Head
FLAIR MRI.
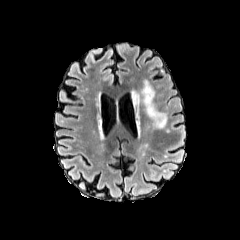
T1-weighted MR.
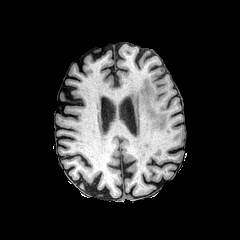
Post-contrast T1-weighted MRI.
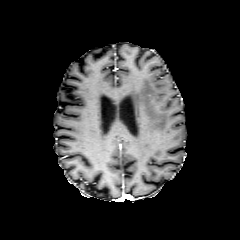
T2-weighted magnetic resonance.
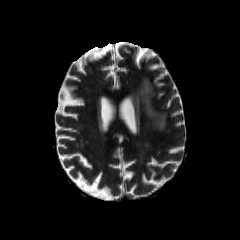
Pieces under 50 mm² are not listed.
peritumoral_edema:
  - bbox(132, 80, 166, 128)